Head; Slice 49/155; Axial view
FLAIR MRI.
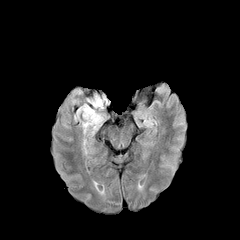
T1-weighted MRI.
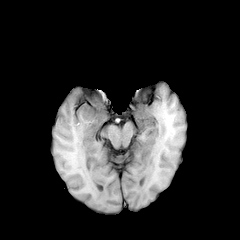
Post-contrast T1-weighted magnetic resonance.
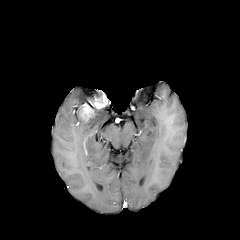
T2-weighted magnetic resonance.
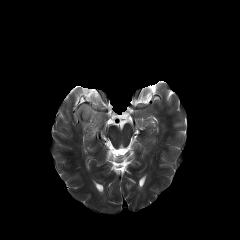
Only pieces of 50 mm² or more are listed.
* enhancing tumor: <bbox>80, 95, 106, 120</bbox>
* peritumoral edema: <bbox>82, 113, 102, 132</bbox>